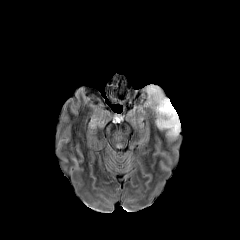
FLAIR MR image.
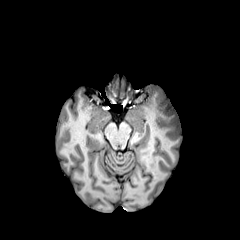
T1-weighted MR image of the same slice.
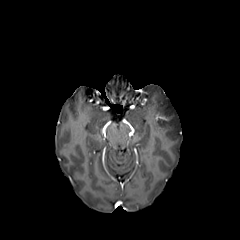
Same slice, post-contrast T1-weighted magnetic resonance.
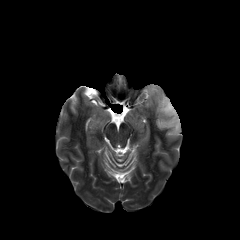
T2-weighted MRI of the same slice.
Axial plane. Brain.
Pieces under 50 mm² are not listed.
peritumoral_edema:
  - 147 85 180 137